Slice index 39; Image size 240x240
FLAIR MR.
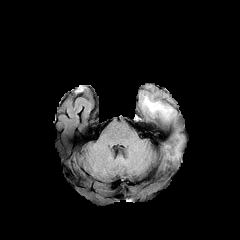
T1-weighted MRI.
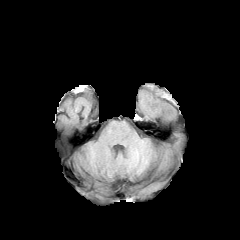
Post-contrast T1-weighted MR.
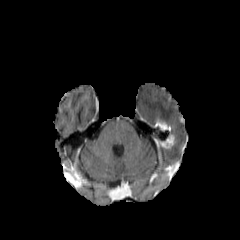
T2-weighted MR image.
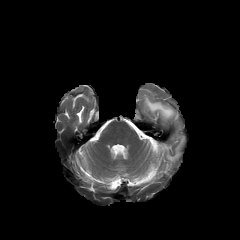
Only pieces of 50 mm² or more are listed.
peritumoral edema: 141, 93, 176, 121; 167, 144, 179, 159 | enhancing tumor: 155, 121, 170, 131; 159, 135, 175, 148